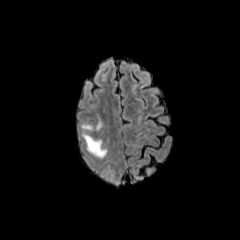
FLAIR MR.
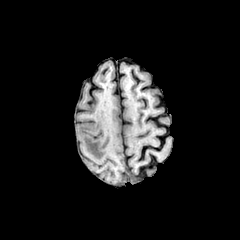
T1-weighted MR image of the same slice.
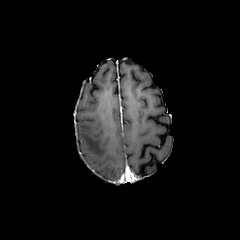
Post-contrast T1-weighted MR.
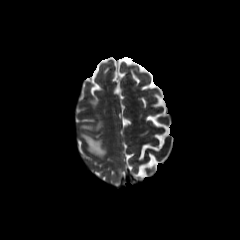
T2-weighted MR image.
Axial plane
<segmentation>
  <peritumoral_edema>80 113 103 131, 80 132 107 158</peritumoral_edema>
</segmentation>